FLAIR MR image.
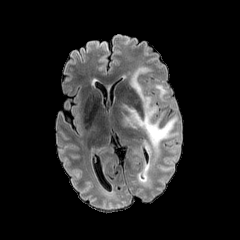
T1-weighted MRI.
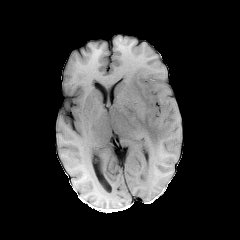
Post-contrast T1-weighted MR.
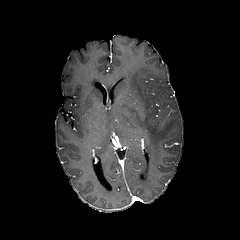
T2-weighted MR image.
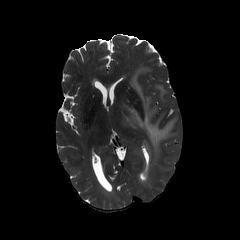
Axial plane
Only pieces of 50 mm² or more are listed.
peritumoral edema: bounding box (155, 85, 166, 100), (124, 66, 177, 157)